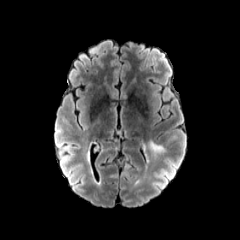
FLAIR MRI.
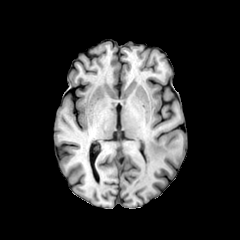
T1-weighted MRI of the same slice.
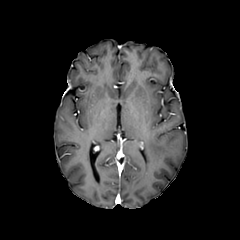
Same slice, post-contrast T1-weighted MR.
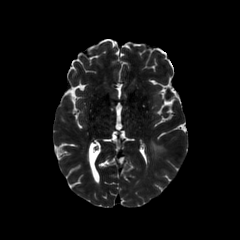
T2-weighted magnetic resonance of the same slice.
240x240; Head
The peritumoral edema is at 149, 140, 164, 152.